240x240 px
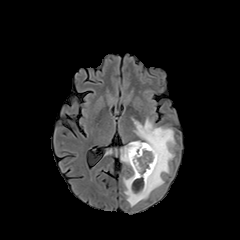
FLAIR MRI.
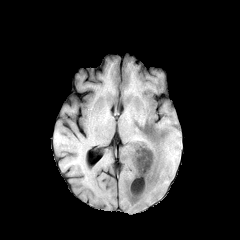
T1-weighted MRI.
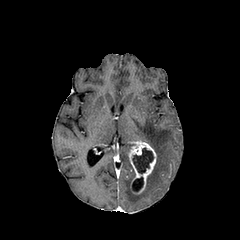
Same slice, post-contrast T1-weighted magnetic resonance.
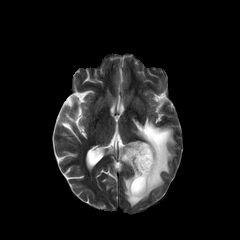
T2-weighted MR.
necrotic_tumor_core:
  - (132,148,153,173)
  - (132,177,143,192)
enhancing_tumor:
  - (128,141,156,194)
peritumoral_edema:
  - (120,142,132,166)
  - (123,118,175,206)